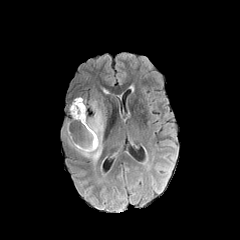
FLAIR MRI.
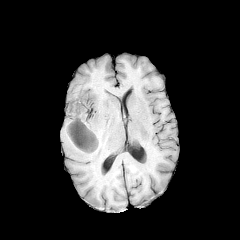
Same slice, T1-weighted MR image.
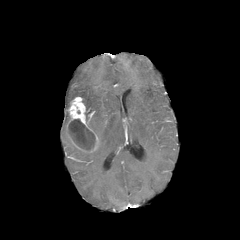
Post-contrast T1-weighted MR.
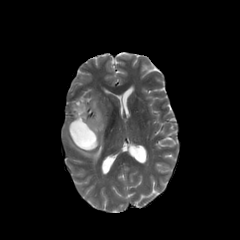
T2-weighted MR image of the same slice.
240x240 px, Head
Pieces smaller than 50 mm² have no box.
necrotic tumor core: 68,119,95,148 | peritumoral edema: 76,98,105,161 | enhancing tumor: 67,97,99,152